Image width 240 mm, 1.00 mm slice spacing | Axial plane | 240x240 px | Slice 66/155
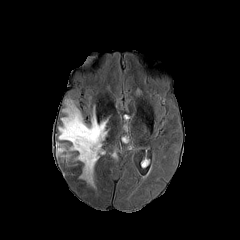
FLAIR MRI.
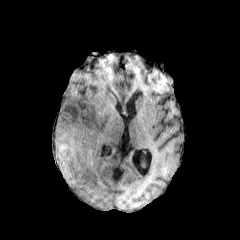
T1-weighted MR image.
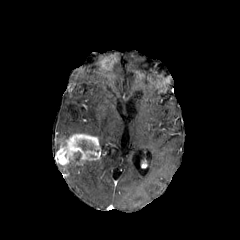
Same slice, post-contrast T1-weighted magnetic resonance.
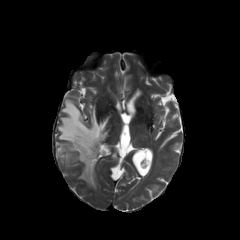
T2-weighted MR of the same slice.
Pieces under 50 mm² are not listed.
{"peritumoral_edema": ["77 155 96 187", "58 99 107 146"], "necrotic_tumor_core": ["79 140 93 150"], "enhancing_tumor": ["55 133 101 165"]}